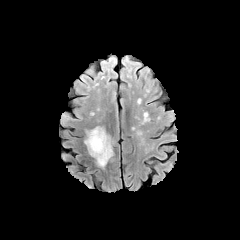
FLAIR MRI.
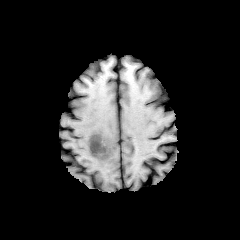
T1-weighted magnetic resonance of the same slice.
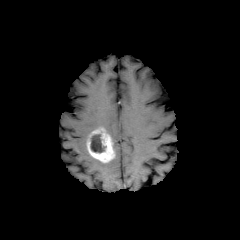
Same slice, post-contrast T1-weighted MRI.
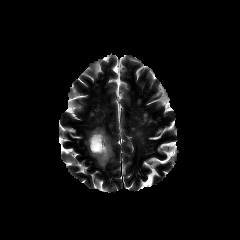
T2-weighted MRI.
Axial slice
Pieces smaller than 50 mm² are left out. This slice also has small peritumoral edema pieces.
Annotated regions:
- enhancing tumor: 86:128:114:162
- necrotic tumor core: 91:134:104:152